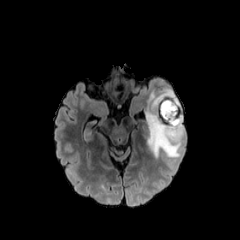
FLAIR MR image.
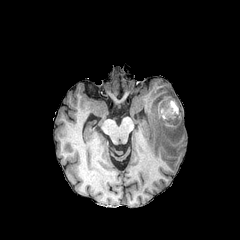
T1-weighted MR image.
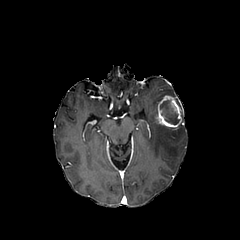
Same slice, post-contrast T1-weighted MR.
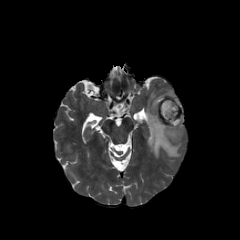
T2-weighted MRI of the same slice.
Axial slice | Image size 240x240 | Brain
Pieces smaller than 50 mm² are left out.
<segmentation>
  <peritumoral_edema>[145, 88, 184, 158]</peritumoral_edema>
  <enhancing_tumor>[155, 95, 182, 128]</enhancing_tumor>
  <necrotic_tumor_core>[160, 100, 179, 124]</necrotic_tumor_core>
</segmentation>